Axial plane.
FLAIR MRI.
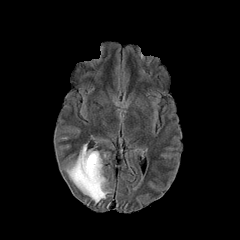
T1-weighted MR image.
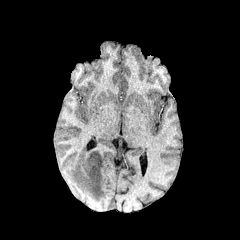
Post-contrast T1-weighted MR image.
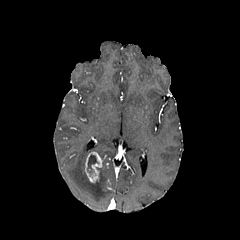
T2-weighted MRI.
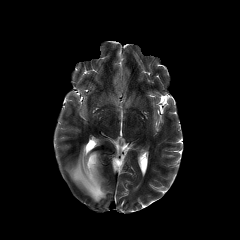
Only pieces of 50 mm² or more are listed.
Annotated regions:
* enhancing tumor: (left=85, top=151, right=101, bottom=182)
* peritumoral edema: (left=66, top=144, right=109, bottom=202)
* necrotic tumor core: (left=87, top=154, right=98, bottom=173)